Head
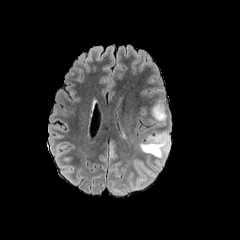
FLAIR magnetic resonance.
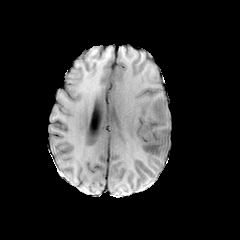
T1-weighted MR.
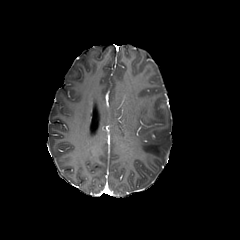
Post-contrast T1-weighted magnetic resonance of the same slice.
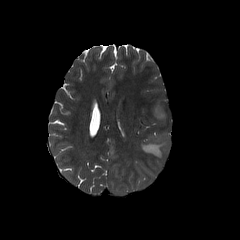
T2-weighted magnetic resonance of the same slice.
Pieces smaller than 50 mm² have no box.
Findings:
• peritumoral edema: region(135, 161, 152, 173); region(152, 101, 166, 121); region(139, 131, 170, 170)